Axial view
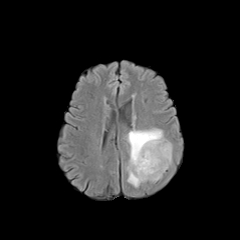
FLAIR MR.
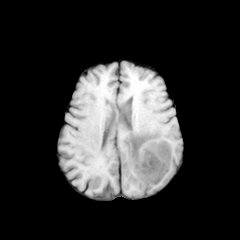
Same slice, T1-weighted magnetic resonance.
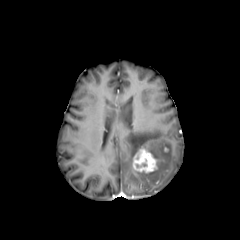
Post-contrast T1-weighted MR of the same slice.
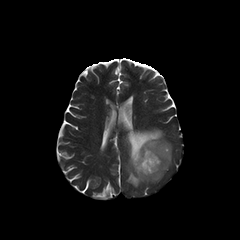
T2-weighted MR image of the same slice.
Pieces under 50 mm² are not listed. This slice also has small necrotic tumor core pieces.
<segmentation>
  <peritumoral_edema>l=126, t=128, r=172, b=187</peritumoral_edema>
  <enhancing_tumor>l=133, t=142, r=157, b=173</enhancing_tumor>
</segmentation>